Slice index 77 | Brain | 240x240
FLAIR MR image.
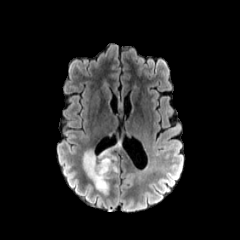
T1-weighted MR.
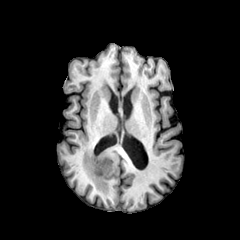
Post-contrast T1-weighted MRI.
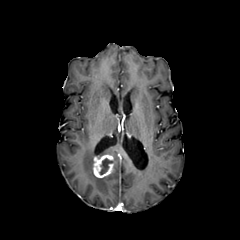
T2-weighted MR.
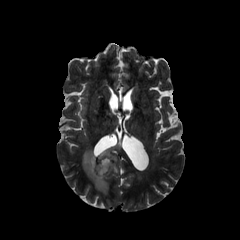
The enhancing tumor appears at 93,154,114,177. The peritumoral edema is located at 83,143,120,194. The necrotic tumor core appears at 100,158,112,174.